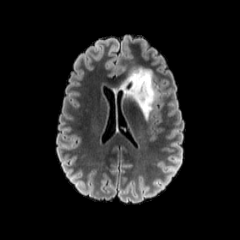
FLAIR magnetic resonance.
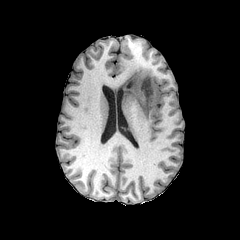
T1-weighted magnetic resonance.
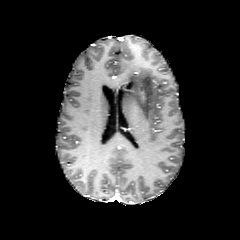
Post-contrast T1-weighted magnetic resonance of the same slice.
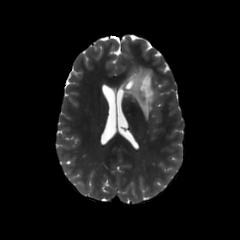
T2-weighted MR image of the same slice.
Brain; Axial plane
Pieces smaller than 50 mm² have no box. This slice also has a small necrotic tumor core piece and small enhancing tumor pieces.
The peritumoral edema appears at l=120, t=67, r=158, b=119.